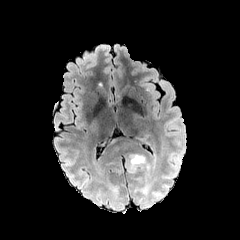
FLAIR MR image.
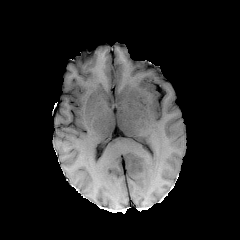
T1-weighted MRI.
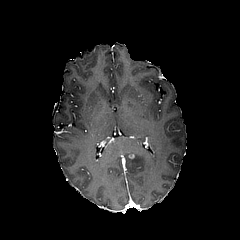
Same slice, post-contrast T1-weighted MR image.
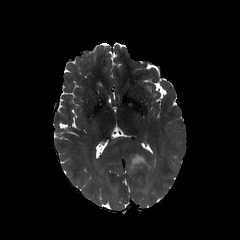
T2-weighted MR image.
Axial view
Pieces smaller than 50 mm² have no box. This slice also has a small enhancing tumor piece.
Findings:
* peritumoral edema: bbox(128, 154, 155, 172)